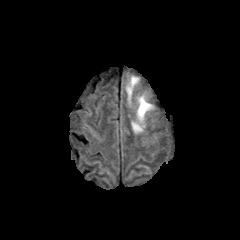
FLAIR magnetic resonance.
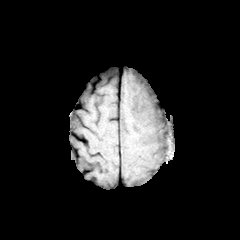
T1-weighted magnetic resonance of the same slice.
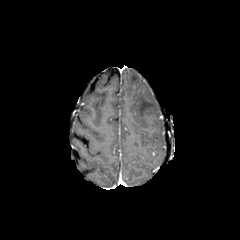
Post-contrast T1-weighted MR.
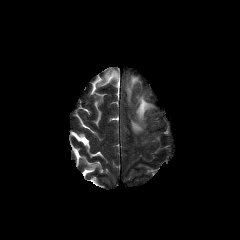
T2-weighted magnetic resonance.
peritumoral edema: [x1=137, y1=96, x2=152, y2=122], [x1=132, y1=122, x2=143, y2=132], [x1=126, y1=77, x2=138, y2=100]